FLAIR MR image.
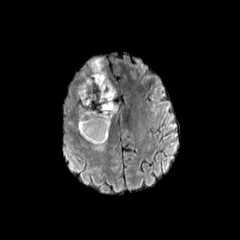
T1-weighted MR.
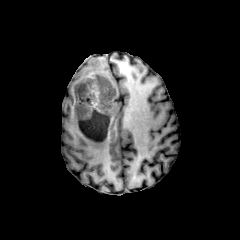
Post-contrast T1-weighted magnetic resonance.
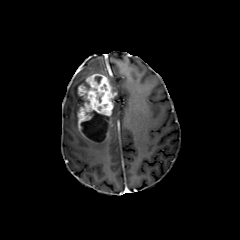
T2-weighted MRI.
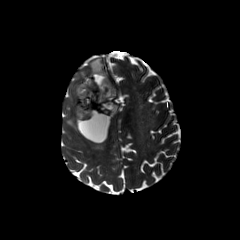
Head.
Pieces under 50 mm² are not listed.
<segmentation>
  <enhancing_tumor>(77, 73, 116, 142)</enhancing_tumor>
  <peritumoral_edema>(75, 72, 88, 100), (91, 141, 105, 149), (89, 57, 107, 77)</peritumoral_edema>
  <necrotic_tumor_core>(81, 110, 108, 142)</necrotic_tumor_core>
</segmentation>